FLAIR MR image.
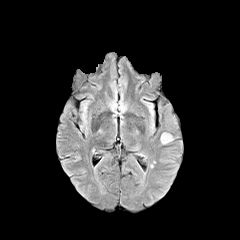
T1-weighted MR image.
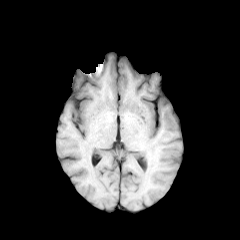
Post-contrast T1-weighted MR.
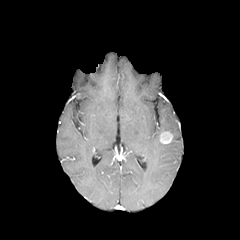
T2-weighted MRI.
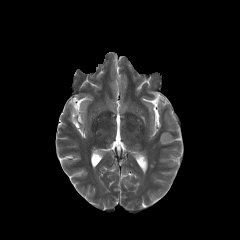
Axial view
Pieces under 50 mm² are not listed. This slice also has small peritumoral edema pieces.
enhancing tumor: 160:132:172:143